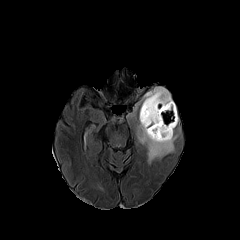
FLAIR MR image.
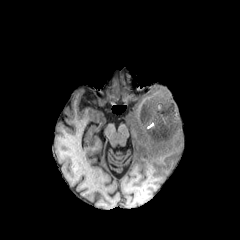
T1-weighted MR image of the same slice.
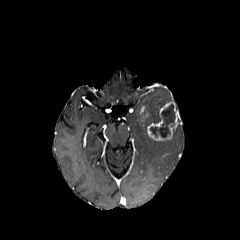
Post-contrast T1-weighted MRI.
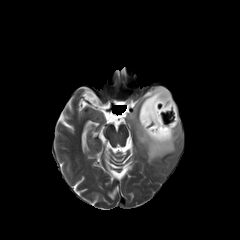
Same slice, T2-weighted magnetic resonance.
Axial plane | 240x240
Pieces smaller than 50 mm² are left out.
Findings:
• peritumoral edema: left=137, top=87, right=177, bottom=163
• enhancing tumor: left=147, top=101, right=178, bottom=141
• necrotic tumor core: left=150, top=104, right=175, bottom=137